Axial view | Head | Slice 79/155
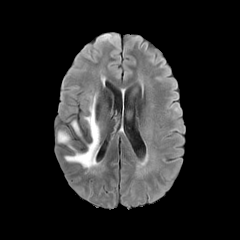
FLAIR MRI.
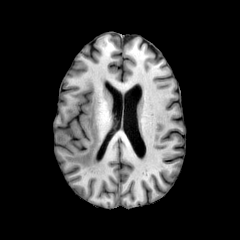
Same slice, T1-weighted magnetic resonance.
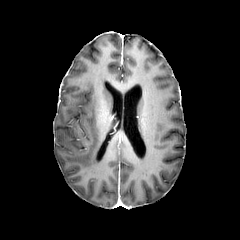
Same slice, post-contrast T1-weighted MR.
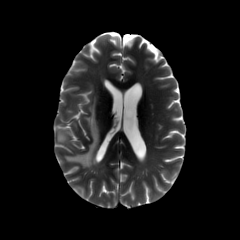
T2-weighted magnetic resonance.
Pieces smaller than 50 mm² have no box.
The 2 largest peritumoral edema regions are bounded by l=65, t=97, r=99, b=170; l=58, t=132, r=68, b=142.